Axial plane.
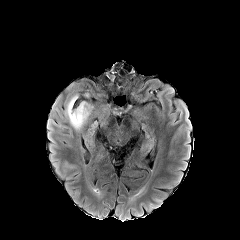
FLAIR MR image.
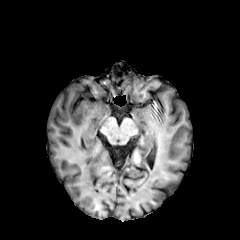
T1-weighted MR image.
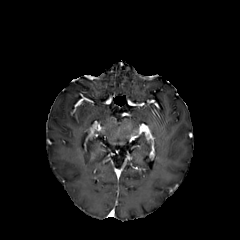
Post-contrast T1-weighted MR image.
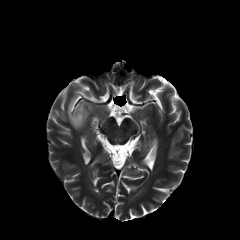
T2-weighted MR image.
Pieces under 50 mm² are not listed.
The largest peritumoral edema region is located at left=66, top=96, right=92, bottom=130.